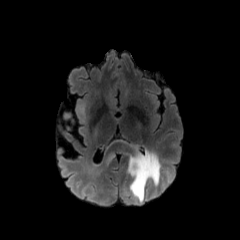
FLAIR MR image.
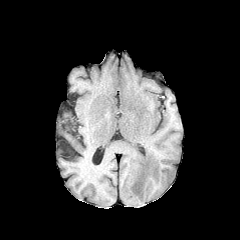
Same slice, T1-weighted MRI.
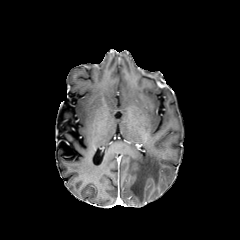
Post-contrast T1-weighted MRI.
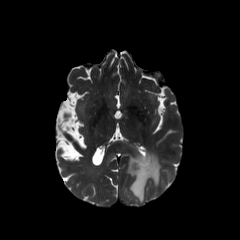
T2-weighted MRI.
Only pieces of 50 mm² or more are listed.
peritumoral edema: 128, 151, 160, 203